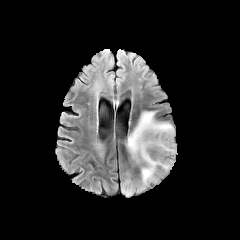
FLAIR MR.
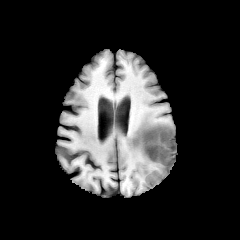
T1-weighted MR image.
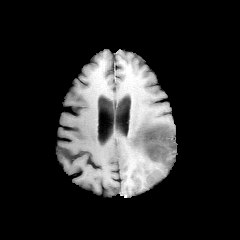
Same slice, post-contrast T1-weighted MR.
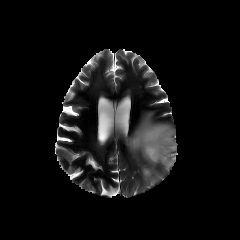
T2-weighted MR.
Axial slice, Head, 240x240
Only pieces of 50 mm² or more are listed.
Annotated regions:
* necrotic tumor core: 140 128 174 163
* peritumoral edema: 126 111 175 185
* enhancing tumor: 138 127 175 165